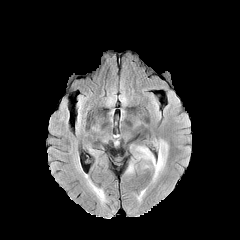
FLAIR MR.
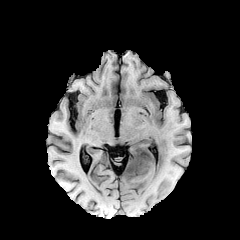
T1-weighted MRI.
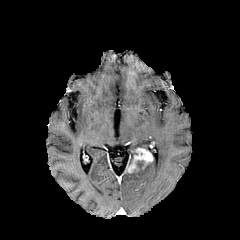
Post-contrast T1-weighted magnetic resonance.
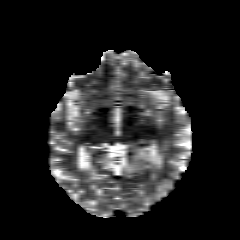
T2-weighted magnetic resonance.
Brain
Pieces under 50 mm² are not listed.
peritumoral edema: 145, 140, 167, 181; 137, 161, 145, 169 | enhancing tumor: 125, 148, 153, 173